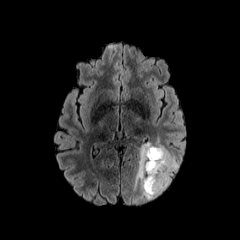
FLAIR MR image.
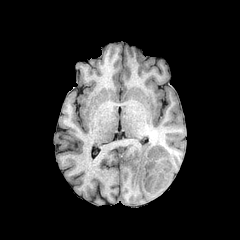
T1-weighted MRI.
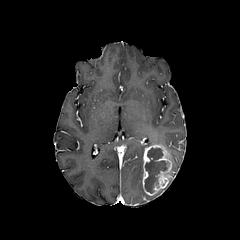
Post-contrast T1-weighted MR image.
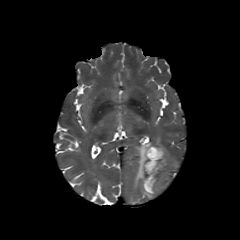
T2-weighted MRI.
Head; Axial view
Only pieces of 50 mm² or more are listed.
peritumoral edema: box=[170, 153, 179, 177]; box=[133, 138, 164, 199] | enhancing tumor: box=[141, 144, 172, 195] | necrotic tumor core: box=[144, 148, 169, 193]